Head. 240x240.
FLAIR magnetic resonance.
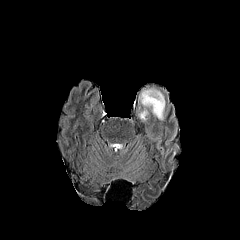
T1-weighted MR image.
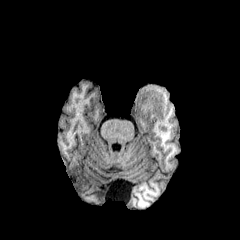
Post-contrast T1-weighted MR image.
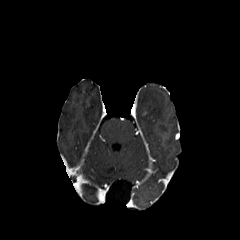
T2-weighted MR image.
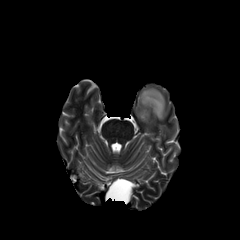
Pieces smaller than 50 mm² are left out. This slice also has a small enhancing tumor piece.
The peritumoral edema is at <bbox>137, 87, 168, 121</bbox>.